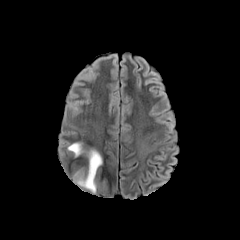
FLAIR MRI.
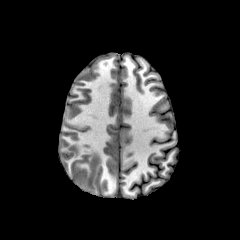
T1-weighted magnetic resonance of the same slice.
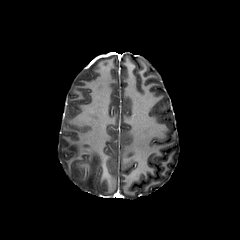
Post-contrast T1-weighted MR.
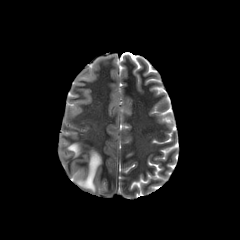
Same slice, T2-weighted MR.
240x240
peritumoral edema: (left=68, top=143, right=82, bottom=156), (left=73, top=149, right=102, bottom=192)